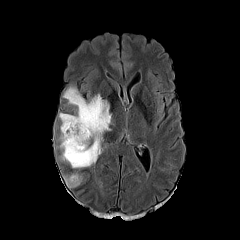
FLAIR MR image.
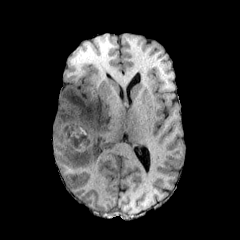
T1-weighted MR image.
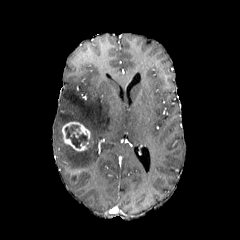
Post-contrast T1-weighted MRI.
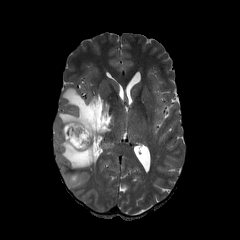
T2-weighted MR image of the same slice.
Image size 240x240.
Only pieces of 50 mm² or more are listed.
peritumoral edema: bounding box region(58, 86, 111, 168); region(64, 173, 81, 187)
enhancing tumor: bounding box region(62, 121, 90, 151)
necrotic tumor core: bounding box region(65, 125, 87, 147)